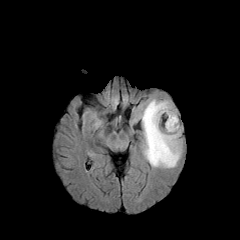
FLAIR MR image.
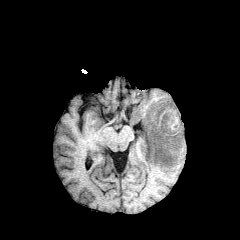
Same slice, T1-weighted magnetic resonance.
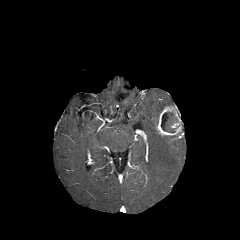
Post-contrast T1-weighted MRI.
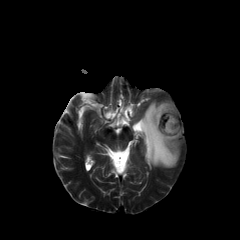
T2-weighted magnetic resonance of the same slice.
Head
Segmented structures:
- peritumoral edema: 140,99,181,168
- necrotic tumor core: 161,112,176,132
- enhancing tumor: 155,105,182,140